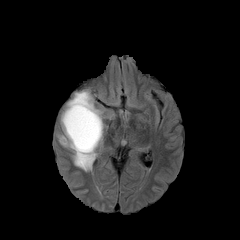
FLAIR MR.
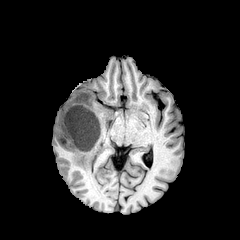
Same slice, T1-weighted MR image.
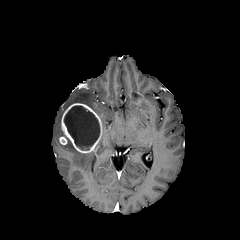
Post-contrast T1-weighted MR.
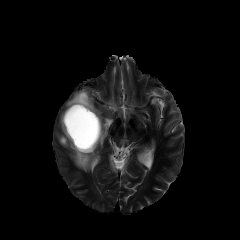
T2-weighted MRI of the same slice.
Brain | Image size 240x240
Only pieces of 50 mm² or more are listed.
The 2 largest peritumoral edema regions are located at left=66, top=90, right=102, bottom=122; left=63, top=140, right=95, bottom=171. The necrotic tumor core is located at left=64, top=106, right=99, bottom=150. The enhancing tumor is located at left=59, top=103, right=102, bottom=153.